Brain; Image width 240 mm, 1.00 mm slice spacing; Axial plane
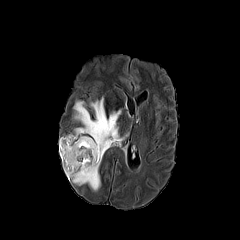
FLAIR magnetic resonance.
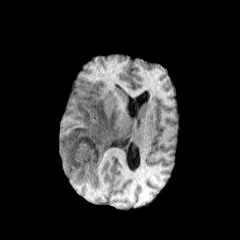
T1-weighted magnetic resonance.
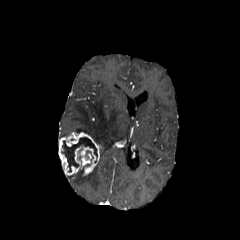
Same slice, post-contrast T1-weighted MRI.
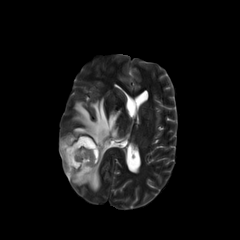
Same slice, T2-weighted MRI.
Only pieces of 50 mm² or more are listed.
peritumoral edema = (67,97,125,190)
enhancing tumor = (59,132,103,175)
necrotic tumor core = (61,137,97,171)